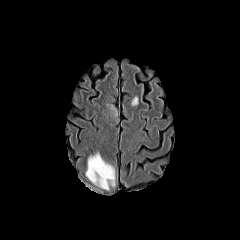
FLAIR MR.
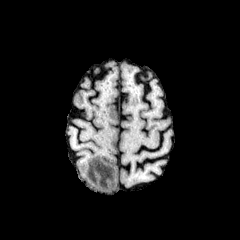
T1-weighted MRI.
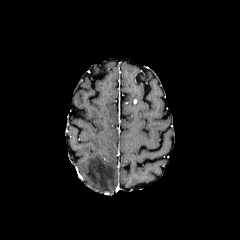
Same slice, post-contrast T1-weighted MR.
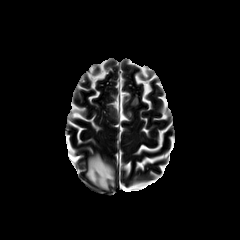
Same slice, T2-weighted MRI.
Brain | Axial view
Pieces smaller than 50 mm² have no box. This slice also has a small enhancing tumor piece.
peritumoral edema — <box>106,103,118,123</box>, <box>85,150,115,190</box>, <box>130,95,138,107</box>